Image covers 240 mm x 240 mm, 240x240 px, Head
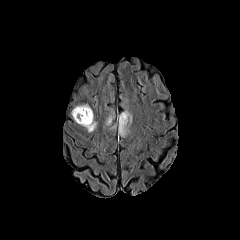
FLAIR MRI.
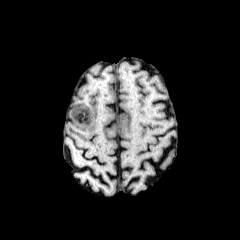
T1-weighted MR image.
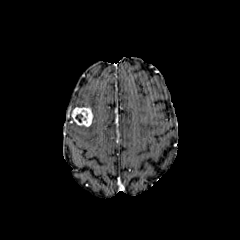
Post-contrast T1-weighted MR.
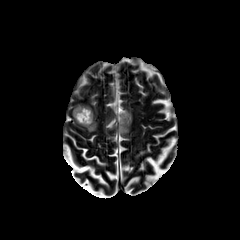
T2-weighted MRI.
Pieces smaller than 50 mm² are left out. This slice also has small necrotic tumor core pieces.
peritumoral edema — region(106, 111, 114, 125); region(118, 110, 132, 136); region(84, 117, 97, 132)
enhancing tumor — region(71, 107, 93, 126)